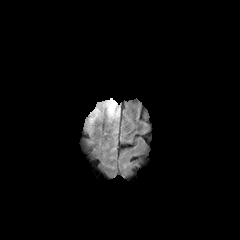
FLAIR MR image.
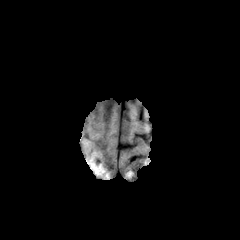
T1-weighted MRI.
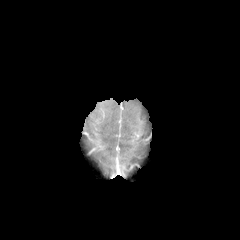
Same slice, post-contrast T1-weighted MRI.
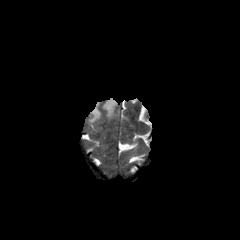
Same slice, T2-weighted MR.
Head.
2 peritumoral edema regions are located at box(103, 99, 118, 120); box(89, 106, 101, 123).